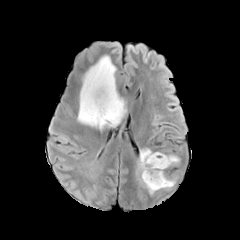
FLAIR MRI.
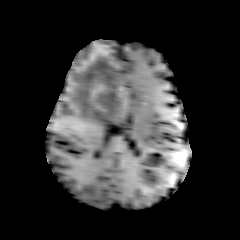
T1-weighted MR.
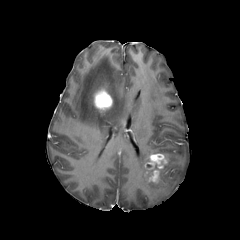
Same slice, post-contrast T1-weighted MR.
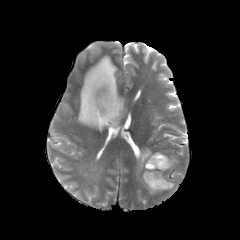
Same slice, T2-weighted MR image.
240x240 | Axial view
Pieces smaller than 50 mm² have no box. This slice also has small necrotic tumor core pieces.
enhancing tumor — box(94, 88, 113, 111); box(147, 153, 167, 182)
peritumoral edema — box(137, 148, 179, 194); box(77, 55, 126, 130)